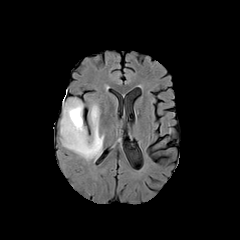
FLAIR MRI.
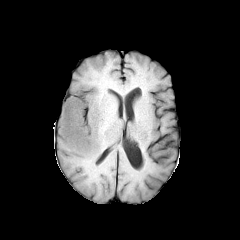
T1-weighted MR.
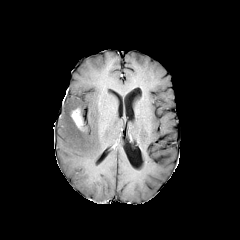
Post-contrast T1-weighted MRI.
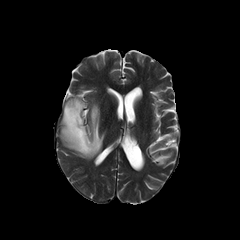
Same slice, T2-weighted MR image.
Head
<segmentation>
  <peritumoral_edema><bbox>60, 97, 104, 159</bbox></peritumoral_edema>
  <enhancing_tumor><bbox>71, 108, 84, 131</bbox></enhancing_tumor>
</segmentation>